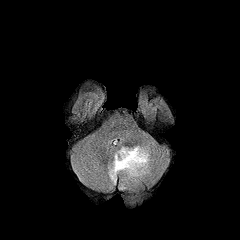
FLAIR MR.
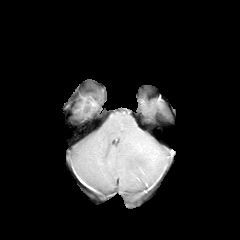
T1-weighted MR image of the same slice.
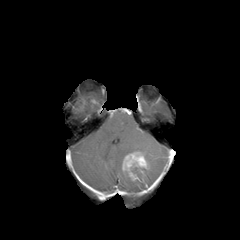
Post-contrast T1-weighted MR image.
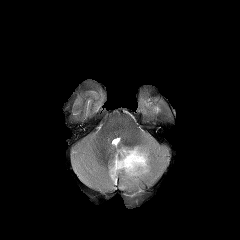
T2-weighted MRI.
Axial slice; Brain
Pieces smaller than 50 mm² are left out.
{"peritumoral_edema": ["rect(108, 145, 153, 188)"], "enhancing_tumor": ["rect(122, 152, 147, 180)"]}